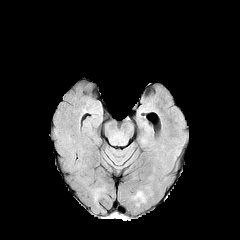
FLAIR MRI.
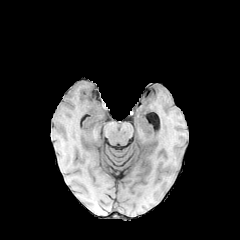
T1-weighted MR.
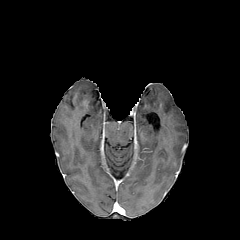
Post-contrast T1-weighted MR.
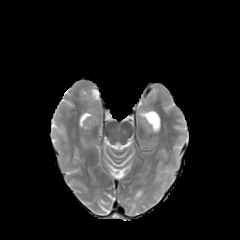
T2-weighted MR image.
Axial view. Brain.
peritumoral_edema:
  - 134:191:142:198